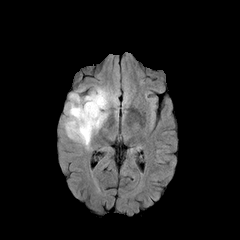
FLAIR magnetic resonance.
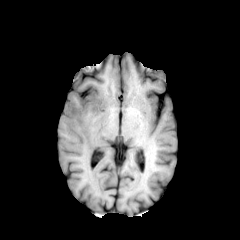
Same slice, T1-weighted MR image.
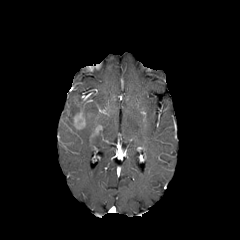
Post-contrast T1-weighted MRI of the same slice.
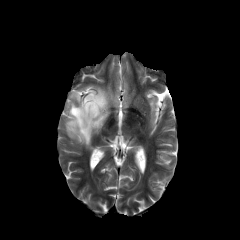
T2-weighted MR.
Axial slice, Head
peritumoral edema = <box>63,86,117,149</box>
enhancing tumor = <box>73,111,85,129</box>